FLAIR MR.
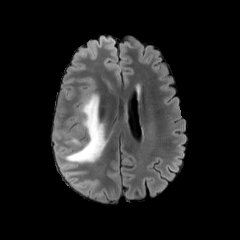
T1-weighted MR.
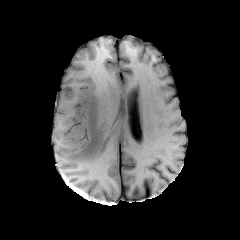
Post-contrast T1-weighted magnetic resonance.
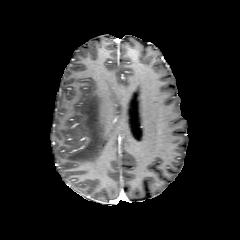
T2-weighted MR.
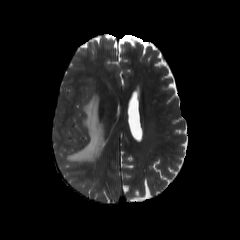
Axial slice, Brain
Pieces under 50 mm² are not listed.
peritumoral_edema:
  - box=[64, 93, 105, 163]